FLAIR magnetic resonance.
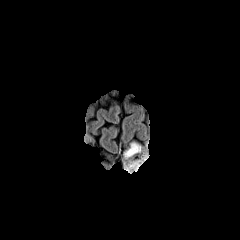
T1-weighted MRI.
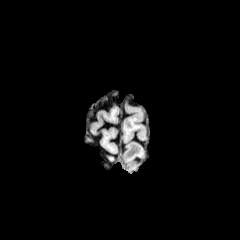
Post-contrast T1-weighted magnetic resonance.
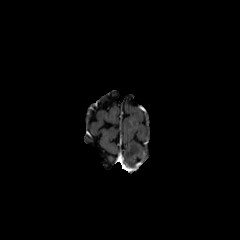
T2-weighted MR image.
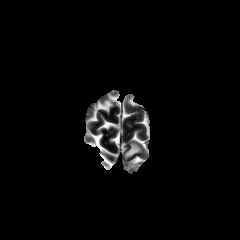
Image size 240x240. Axial plane.
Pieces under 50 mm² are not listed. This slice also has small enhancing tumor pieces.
peritumoral edema: l=127, t=161, r=137, b=168; l=124, t=143, r=141, b=159